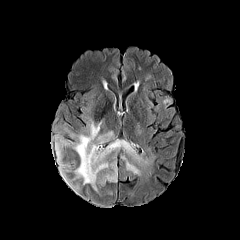
FLAIR MR image.
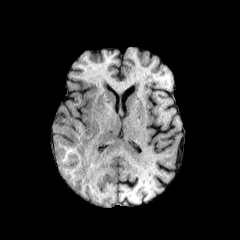
Same slice, T1-weighted MR image.
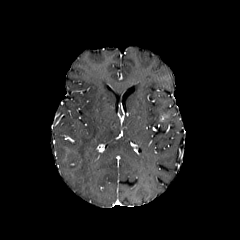
Same slice, post-contrast T1-weighted MRI.
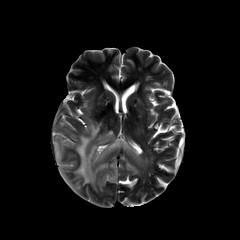
T2-weighted magnetic resonance.
240x240 px
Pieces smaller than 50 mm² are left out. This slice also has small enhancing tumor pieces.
{
  "peritumoral_edema": [
    "<bbox>56, 136, 72, 163</bbox>",
    "<bbox>56, 104, 148, 190</bbox>",
    "<bbox>60, 165, 80, 191</bbox>",
    "<bbox>122, 156, 139, 174</bbox>",
    "<bbox>100, 162, 117, 183</bbox>"
  ]
}